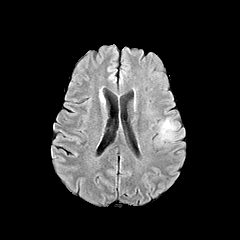
FLAIR magnetic resonance.
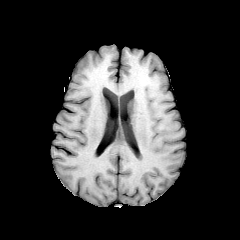
T1-weighted MR image of the same slice.
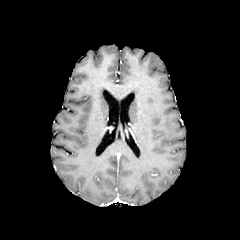
Same slice, post-contrast T1-weighted MR image.
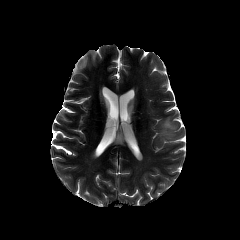
Same slice, T2-weighted MRI.
240x240, Axial plane
Segmented structures:
* peritumoral edema: (160, 118, 175, 139)